Image covers 240 mm x 240 mm. 240x240 px.
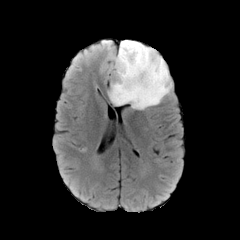
FLAIR magnetic resonance.
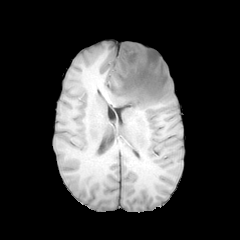
T1-weighted MR image of the same slice.
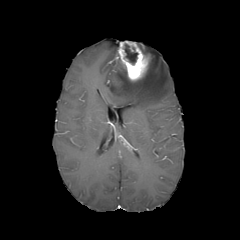
Post-contrast T1-weighted magnetic resonance.
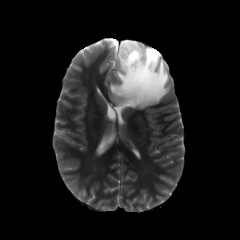
Same slice, T2-weighted magnetic resonance.
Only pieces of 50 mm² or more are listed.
{"enhancing_tumor": ["115,40,150,81"], "peritumoral_edema": ["108,43,172,109"], "necrotic_tumor_core": ["124,44,137,64"]}